FLAIR MR image.
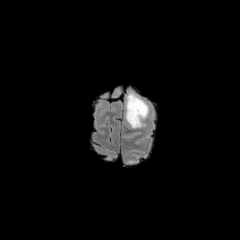
T1-weighted MRI.
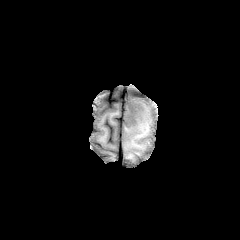
Post-contrast T1-weighted MR.
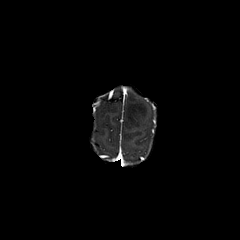
T2-weighted MR.
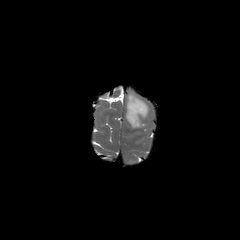
Axial slice. Brain.
peritumoral edema: {"x1": 126, "y1": 93, "x2": 148, "y2": 127}